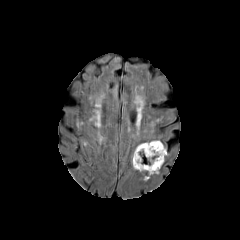
FLAIR magnetic resonance.
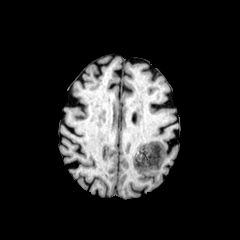
T1-weighted MRI.
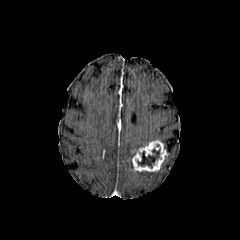
Post-contrast T1-weighted MR image of the same slice.
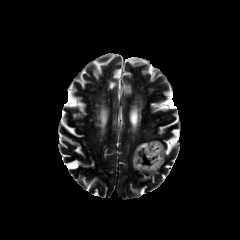
T2-weighted MR.
Axial slice. Head. 240x240 px.
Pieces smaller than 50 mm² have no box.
The enhancing tumor is located at (132,140,167,171). The 2 largest peritumoral edema regions are located at (131,141,148,164), (144,171,159,180). The largest necrotic tumor core region is at (137,149,159,167).